240x240 px | Image width 240 mm | Slice 88/155 | Axial plane
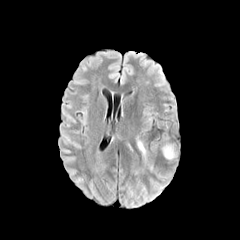
FLAIR magnetic resonance.
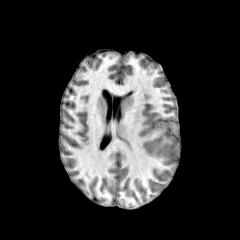
Same slice, T1-weighted MRI.
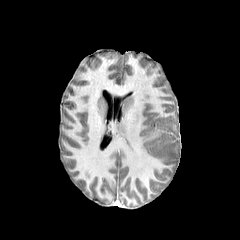
Post-contrast T1-weighted MRI of the same slice.
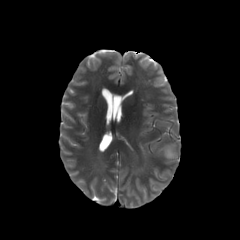
Same slice, T2-weighted MRI.
2 peritumoral edema regions are located at bbox(137, 141, 145, 155); bbox(164, 145, 175, 159).